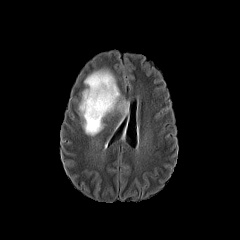
FLAIR MR.
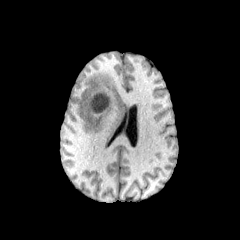
T1-weighted MR image.
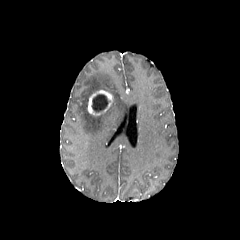
Post-contrast T1-weighted MR image.
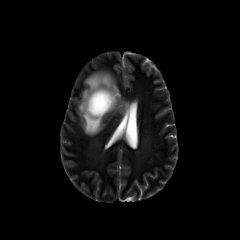
T2-weighted MRI.
Segmented structures:
• peritumoral edema: (77, 67, 129, 135)
• necrotic tumor core: (91, 94, 108, 112)
• enhancing tumor: (87, 90, 112, 115)